FLAIR MR image.
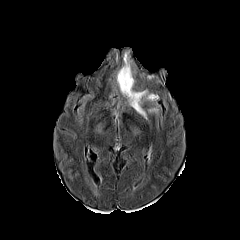
T1-weighted MRI.
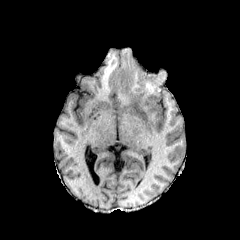
Post-contrast T1-weighted MR image.
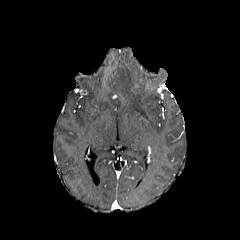
T2-weighted MRI.
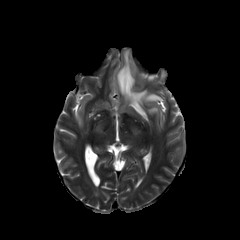
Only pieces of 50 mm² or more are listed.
Findings:
* peritumoral edema: (left=116, top=51, right=158, bottom=119)